Slice 118 of 155, 240x240, Brain
FLAIR MR image.
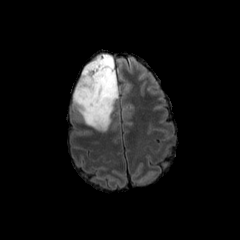
T1-weighted magnetic resonance.
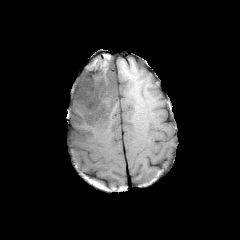
Post-contrast T1-weighted MRI.
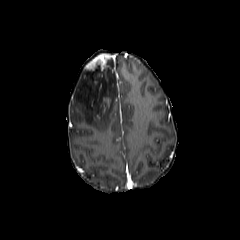
T2-weighted MR image.
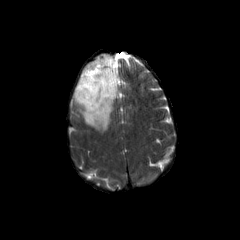
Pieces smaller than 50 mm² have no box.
The 2 largest enhancing tumor regions are located at [x1=103, y1=98, x2=110, y2=112], [x1=85, y1=53, x2=111, y2=71]. The peritumoral edema lies within [x1=73, y1=57, x2=118, y2=131].